FLAIR MRI.
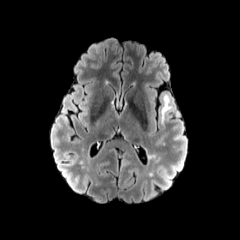
T1-weighted magnetic resonance.
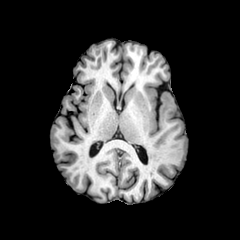
Post-contrast T1-weighted magnetic resonance.
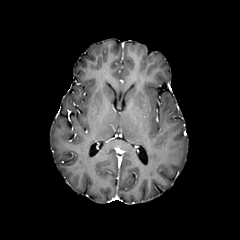
T2-weighted MR.
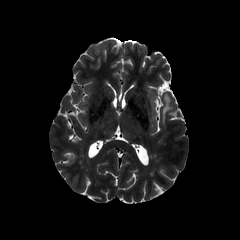
Annotated regions:
* peritumoral edema: x1=161, y1=94, x2=170, y2=124